FLAIR MR.
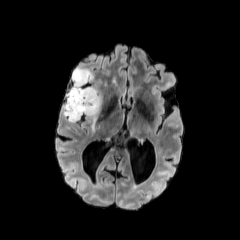
T1-weighted magnetic resonance.
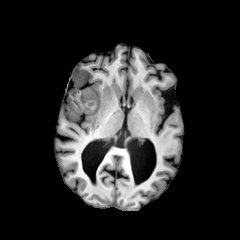
Post-contrast T1-weighted magnetic resonance.
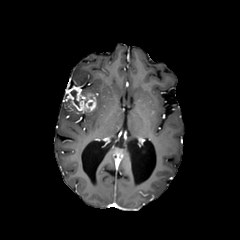
T2-weighted MR.
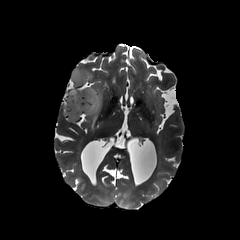
Brain
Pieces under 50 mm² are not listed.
The enhancing tumor lies within 66:86:97:113. The largest necrotic tumor core region lies within 71:90:79:106. 3 peritumoral edema regions appear at 72:68:96:93, 63:103:83:125, 85:95:100:114.